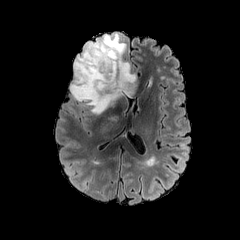
FLAIR magnetic resonance.
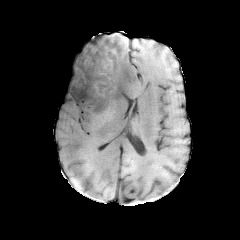
T1-weighted MR.
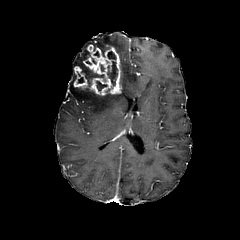
Same slice, post-contrast T1-weighted MRI.
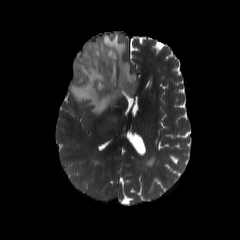
T2-weighted magnetic resonance.
Axial slice; Brain
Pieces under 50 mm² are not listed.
The enhancing tumor lies within bbox(73, 44, 122, 96). The 4 largest necrotic tumor core regions are located at bbox(107, 61, 117, 85); bbox(107, 51, 115, 59); bbox(82, 65, 103, 86); bbox(96, 81, 106, 90). The peritumoral edema is located at bbox(70, 33, 136, 114).